240x240 px | Axial slice | Brain
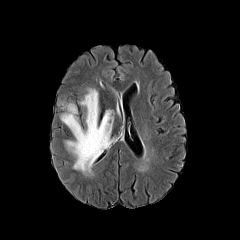
FLAIR MR image.
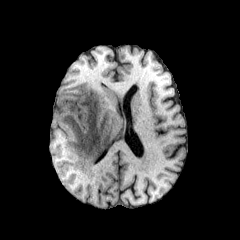
T1-weighted MRI.
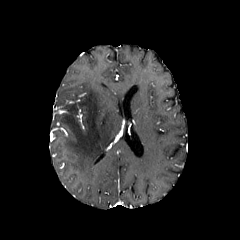
Post-contrast T1-weighted MRI.
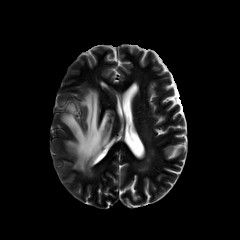
Same slice, T2-weighted MR image.
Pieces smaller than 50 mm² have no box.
The largest peritumoral edema region lies within <bbox>60, 89, 113, 172</bbox>.